FLAIR MR image.
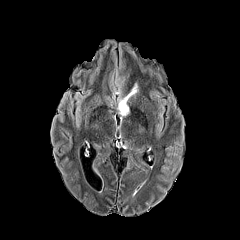
T1-weighted MRI.
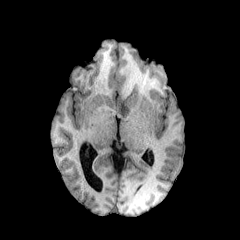
Post-contrast T1-weighted MRI.
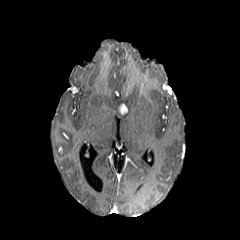
T2-weighted MRI.
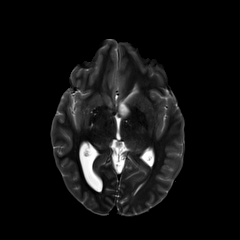
Axial view.
enhancing tumor: bounding box left=119, top=103, right=127, bottom=115
peritumoral edema: bounding box left=117, top=84, right=138, bottom=119